FLAIR MRI.
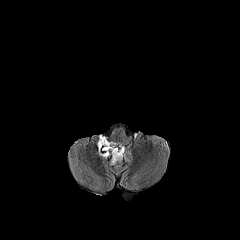
T1-weighted MRI.
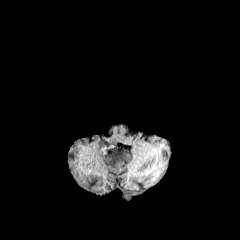
Post-contrast T1-weighted MR.
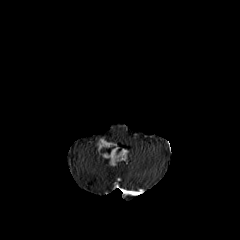
T2-weighted MR.
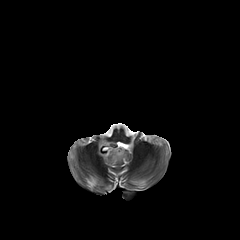
Image size 240x240 | Axial view | Head
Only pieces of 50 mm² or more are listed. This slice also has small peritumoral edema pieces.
The enhancing tumor is at <box>97,138,128,165</box>. The necrotic tumor core is located at <box>100,146,115,153</box>.